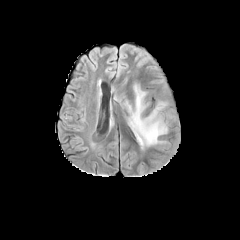
FLAIR MRI.
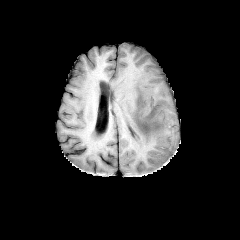
T1-weighted MR image.
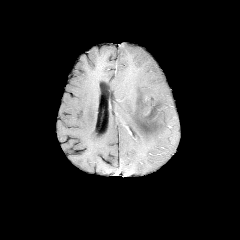
Same slice, post-contrast T1-weighted MR image.
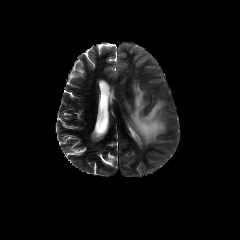
Same slice, T2-weighted MR image.
Head
peritumoral edema: bounding box bbox=[125, 84, 167, 147]